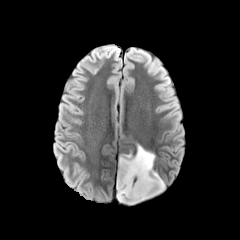
FLAIR magnetic resonance.
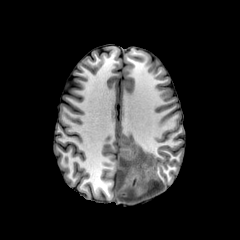
T1-weighted MRI.
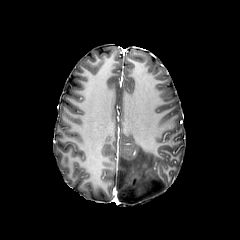
Post-contrast T1-weighted magnetic resonance of the same slice.
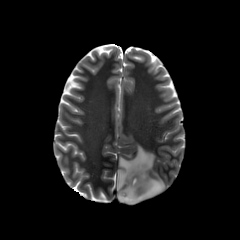
T2-weighted magnetic resonance of the same slice.
Head. Axial view.
The peritumoral edema is at region(116, 145, 165, 204).